Image size 240x240, Axial plane
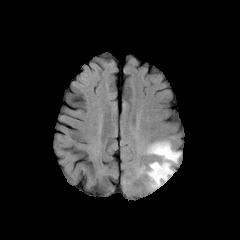
FLAIR MR image.
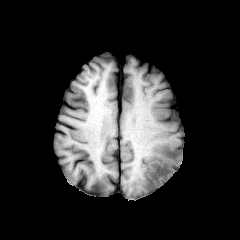
Same slice, T1-weighted MR image.
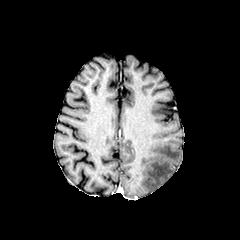
Post-contrast T1-weighted MRI of the same slice.
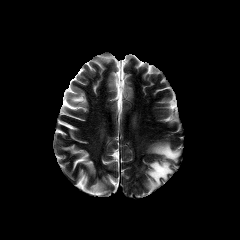
T2-weighted magnetic resonance.
- peritumoral edema: 140, 141, 181, 191